FLAIR MR image.
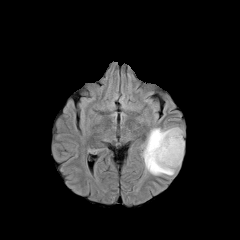
T1-weighted MR image.
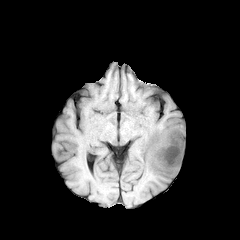
Post-contrast T1-weighted magnetic resonance.
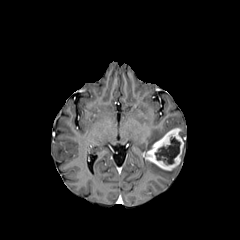
T2-weighted magnetic resonance.
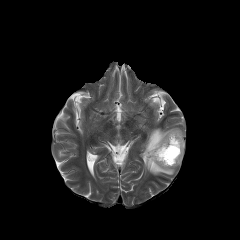
Head | Image size 240x240
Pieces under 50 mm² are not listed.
peritumoral edema: [142, 127, 180, 175] | enhancing tumor: [143, 128, 183, 170] | necrotic tumor core: [155, 137, 180, 164]